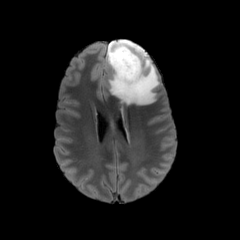
FLAIR MR image.
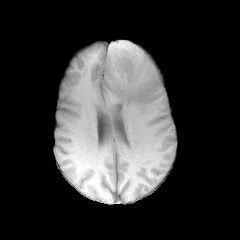
T1-weighted magnetic resonance.
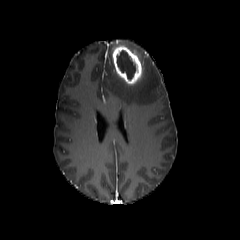
Post-contrast T1-weighted MRI.
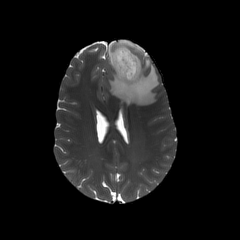
T2-weighted MR.
Axial view; Head
The enhancing tumor is located at (x1=112, y1=45, x2=142, y2=85). The peritumoral edema appears at (x1=105, y1=39, x2=159, y2=105). The necrotic tumor core is located at (x1=116, y1=50, x2=135, y2=79).